Slice 123 of 155, Brain, Axial view
FLAIR MR image.
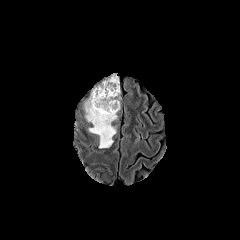
T1-weighted MR image.
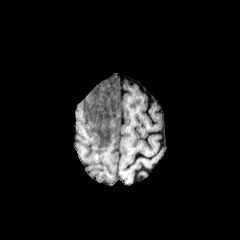
Post-contrast T1-weighted MR.
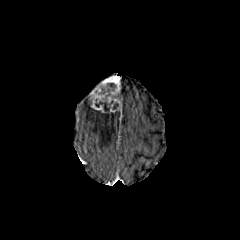
T2-weighted MR.
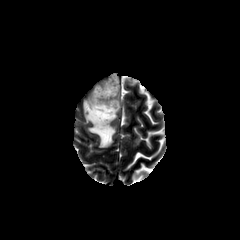
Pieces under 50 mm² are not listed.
The enhancing tumor is located at [89,74,122,113]. The peritumoral edema appears at [84,100,117,148]. The largest necrotic tumor core region is at [95,101,113,116].